Slice 63/155 | 240x240 | Brain
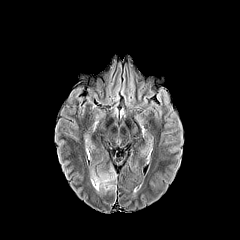
FLAIR MR image.
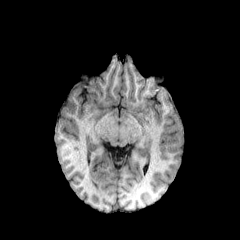
T1-weighted MR image.
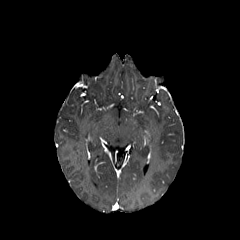
Post-contrast T1-weighted MRI of the same slice.
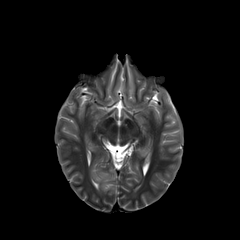
T2-weighted MRI.
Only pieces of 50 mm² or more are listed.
peritumoral_edema:
  - region(90, 167, 116, 192)